FLAIR MR.
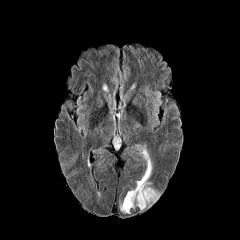
T1-weighted MR image.
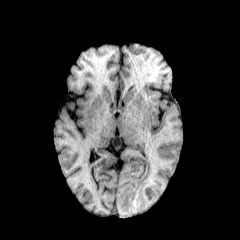
Post-contrast T1-weighted MR.
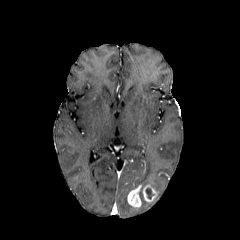
T2-weighted magnetic resonance.
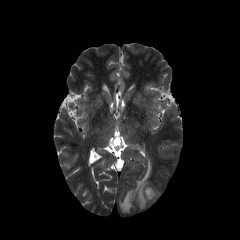
Head; Axial view; 240x240
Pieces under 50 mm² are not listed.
Annotated regions:
- enhancing tumor: x1=143 y1=185 x2=157 y2=201, x1=127 y1=185 x2=141 y2=207
- necrotic tumor core: x1=145 y1=188 x2=154 y2=199
- peritumoral edema: x1=120 y1=191 x2=135 y2=213, x1=136 y1=148 x2=152 y2=186, x1=140 y1=200 x2=150 y2=209